FLAIR MRI.
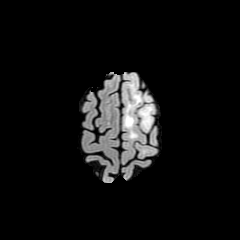
T1-weighted MR.
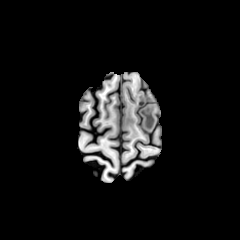
Post-contrast T1-weighted magnetic resonance.
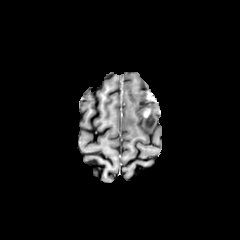
T2-weighted MR.
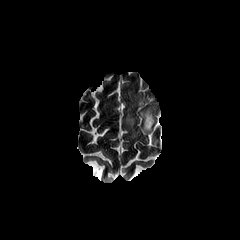
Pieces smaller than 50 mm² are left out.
peritumoral_edema:
  - x1=139, y1=105, x2=154, y2=131
  - x1=124, y1=91, x2=142, y2=127
enhancing_tumor:
  - x1=146, y1=92, x2=154, y2=100
  - x1=142, y1=108, x2=150, y2=117